Slice 106/155; Brain; 240x240 px
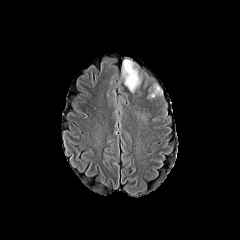
FLAIR MRI.
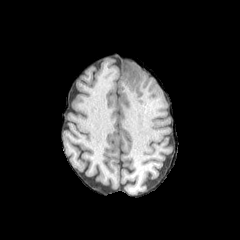
Same slice, T1-weighted MR image.
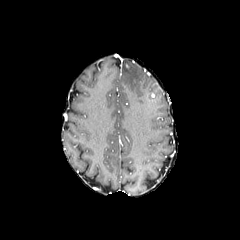
Post-contrast T1-weighted MR image.
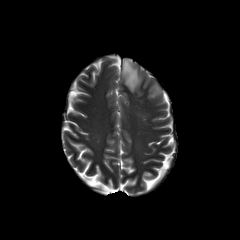
T2-weighted MR.
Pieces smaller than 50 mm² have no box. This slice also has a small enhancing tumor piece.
Findings:
• peritumoral edema: [x1=154, y1=85, x2=161, y2=94], [x1=122, y1=59, x2=141, y2=92]